FLAIR MR.
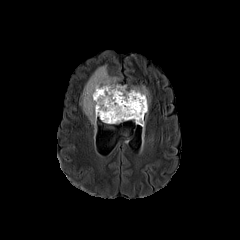
T1-weighted MR.
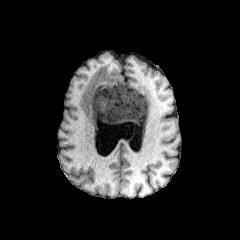
Post-contrast T1-weighted magnetic resonance.
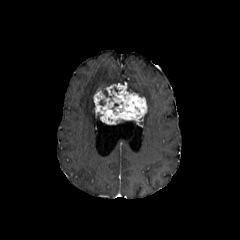
T2-weighted MRI.
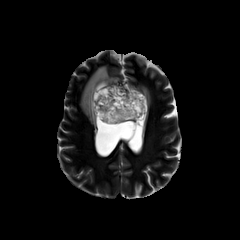
240x240 px | Axial plane | Head
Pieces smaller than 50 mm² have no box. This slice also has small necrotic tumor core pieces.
The 2 largest peritumoral edema regions are bounded by x1=128, y1=86, x2=150, y2=108; x1=80, y1=65, x2=118, y2=126. The enhancing tumor is at x1=93, y1=83, x2=147, y2=124.